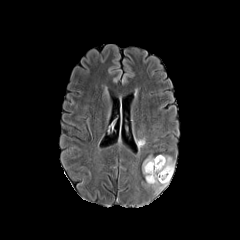
FLAIR MRI.
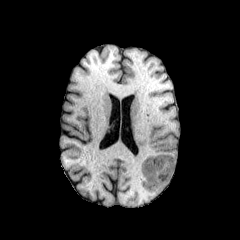
T1-weighted MR.
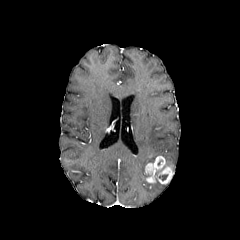
Post-contrast T1-weighted MR.
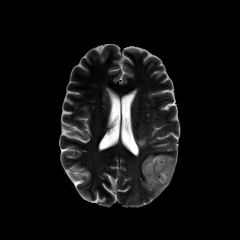
Same slice, T2-weighted magnetic resonance.
Axial view. Head. Image size 240x240.
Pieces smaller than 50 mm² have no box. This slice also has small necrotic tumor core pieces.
peritumoral edema: bounding box region(158, 154, 175, 169); region(146, 178, 168, 195); region(142, 155, 155, 178); region(136, 139, 145, 151)
enhancing tumor: bounding box region(145, 156, 173, 184)